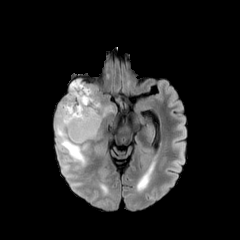
FLAIR MR image.
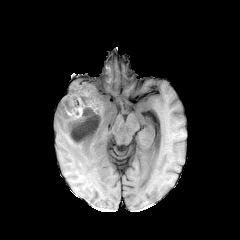
T1-weighted magnetic resonance of the same slice.
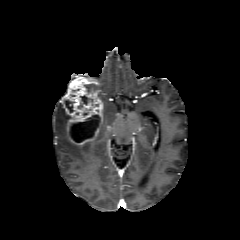
Post-contrast T1-weighted magnetic resonance of the same slice.
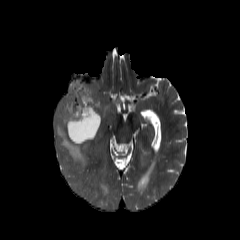
T2-weighted MRI.
Image size 240x240; Axial slice
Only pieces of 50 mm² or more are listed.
Findings:
- necrotic tumor core: <bbox>80, 95, 92, 104</bbox>, <bbox>70, 115, 100, 142</bbox>, <bbox>63, 99, 74, 112</bbox>
- peritumoral edema: <bbox>55, 103, 90, 166</bbox>, <bbox>103, 105, 112, 117</bbox>
- enhancing tumor: <bbox>61, 78, 103, 145</bbox>